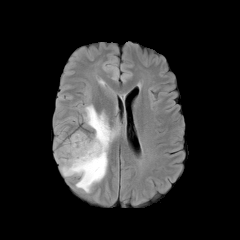
FLAIR MR.
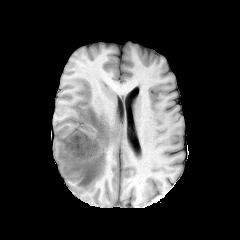
T1-weighted MR.
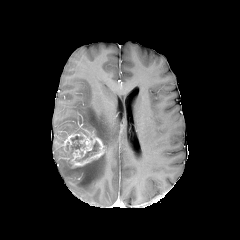
Post-contrast T1-weighted MR image.
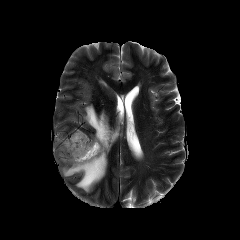
T2-weighted MRI.
Axial slice. Head.
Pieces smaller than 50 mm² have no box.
<segmentation>
  <peritumoral_edema>x1=57 y1=105 x2=119 y2=192</peritumoral_edema>
  <necrotic_tumor_core>x1=84 y1=143 x2=99 y2=158, x1=71 y1=137 x2=82 y2=148</necrotic_tumor_core>
  <enhancing_tumor>x1=55 y1=132 x2=104 y2=167</enhancing_tumor>
</segmentation>